240x240; Brain; Axial view
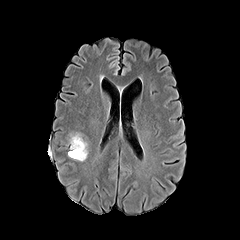
FLAIR magnetic resonance.
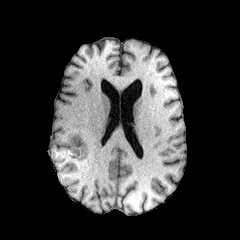
T1-weighted MRI of the same slice.
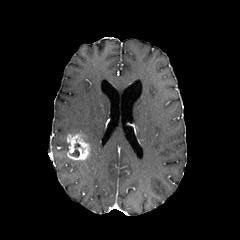
Same slice, post-contrast T1-weighted MR.
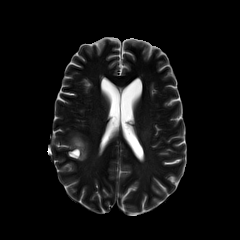
Same slice, T2-weighted MR.
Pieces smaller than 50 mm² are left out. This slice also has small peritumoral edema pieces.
<segmentation>
  <enhancing_tumor>bbox(67, 134, 89, 160)</enhancing_tumor>
  <necrotic_tumor_core>bbox(70, 143, 80, 157)</necrotic_tumor_core>
</segmentation>